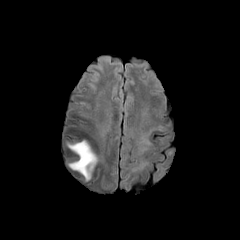
FLAIR MR image.
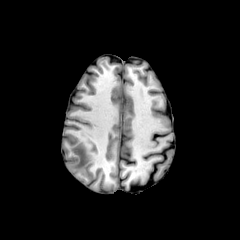
Same slice, T1-weighted MRI.
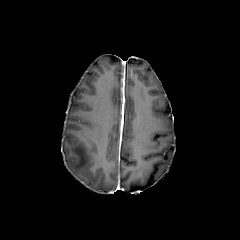
Post-contrast T1-weighted MR image.
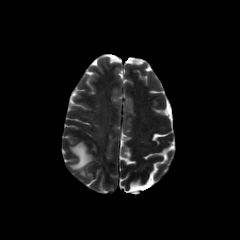
T2-weighted magnetic resonance.
<segmentation>
  <peritumoral_edema>left=66, top=140, right=96, bottom=178</peritumoral_edema>
</segmentation>